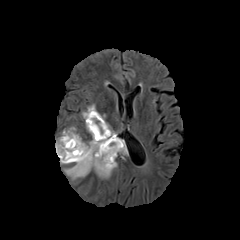
FLAIR MR.
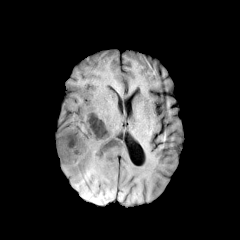
T1-weighted MR of the same slice.
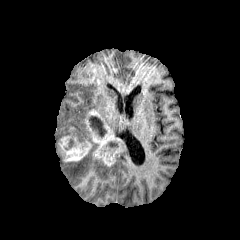
Post-contrast T1-weighted MR of the same slice.
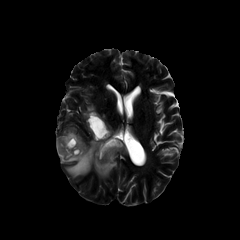
T2-weighted MRI of the same slice.
Axial plane
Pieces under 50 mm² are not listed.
2 enhancing tumor regions are located at region(85, 110, 121, 166); region(56, 128, 91, 162). The 3 largest peritumoral edema regions appear at region(120, 140, 127, 154); region(60, 137, 117, 179); region(82, 104, 95, 118). 2 necrotic tumor core regions appear at region(108, 141, 118, 148); region(88, 116, 106, 137).